Head, Slice index 105
FLAIR MR image.
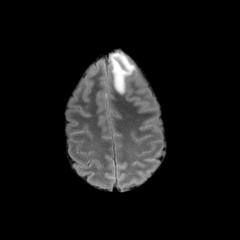
T1-weighted MR.
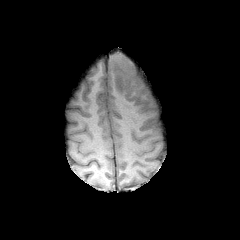
Post-contrast T1-weighted MR.
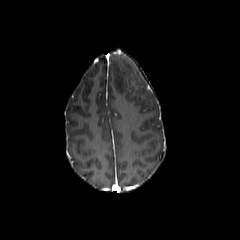
T2-weighted MR image.
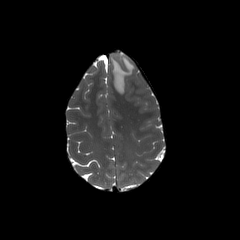
peritumoral edema = [111,53,134,93]